Axial view | Image size 240x240
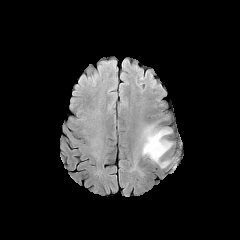
FLAIR MR image.
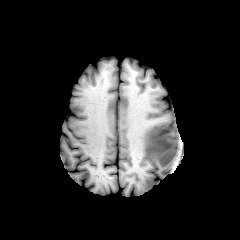
T1-weighted MR.
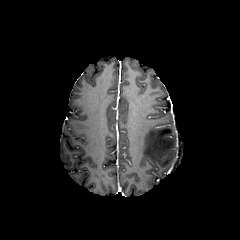
Same slice, post-contrast T1-weighted MR.
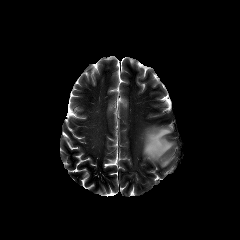
Same slice, T2-weighted MRI.
{
  "peritumoral_edema": [
    "142, 125, 173, 167"
  ]
}